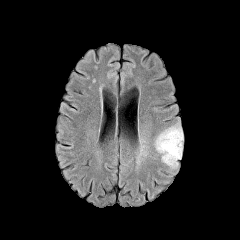
FLAIR MR image.
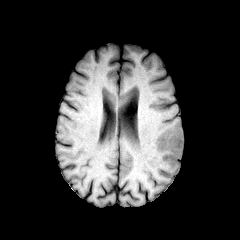
Same slice, T1-weighted MRI.
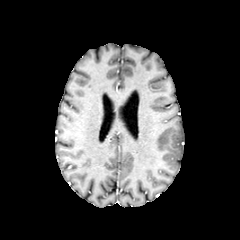
Same slice, post-contrast T1-weighted magnetic resonance.
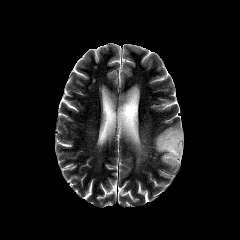
Same slice, T2-weighted MR image.
Head, Axial plane
{
  "peritumoral_edema": [
    "box(155, 125, 183, 167)",
    "box(135, 149, 145, 176)"
  ]
}